240x240 px | Head | Image width 240 mm
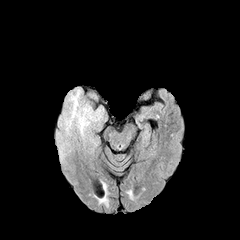
FLAIR MR image.
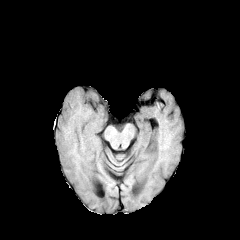
T1-weighted MR of the same slice.
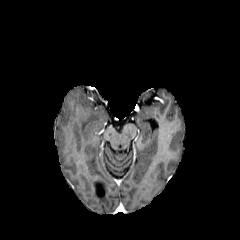
Same slice, post-contrast T1-weighted MRI.
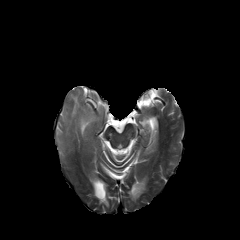
T2-weighted MRI of the same slice.
2 peritumoral edema regions are located at (56, 87, 107, 148), (88, 92, 97, 100).